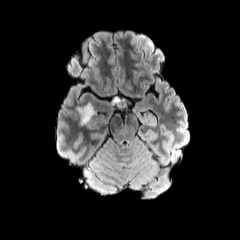
FLAIR MRI.
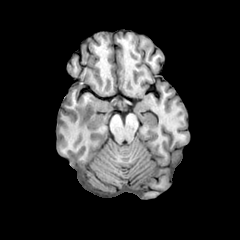
T1-weighted MRI.
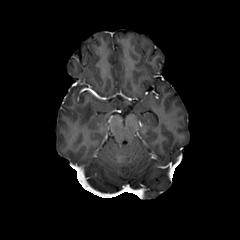
Post-contrast T1-weighted MRI.
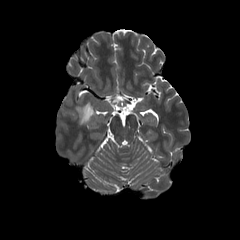
T2-weighted MR image.
Axial plane. Brain.
Findings:
* peritumoral edema: {"x1": 76, "y1": 103, "x2": 94, "y2": 124}, {"x1": 111, "y1": 96, "x2": 120, "y2": 105}